FLAIR MR image.
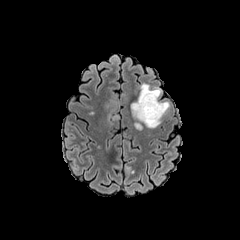
T1-weighted MRI.
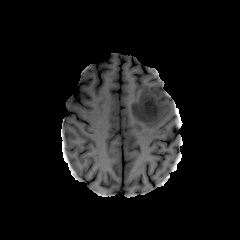
Post-contrast T1-weighted MR image.
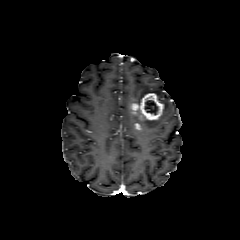
T2-weighted MRI.
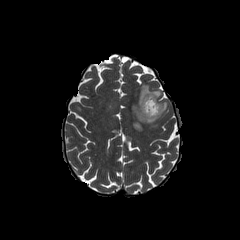
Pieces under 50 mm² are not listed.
enhancing tumor: 131:93:163:120 | peritumoral edema: 134:83:161:103, 132:101:169:129 | necrotic tumor core: 144:100:158:114